FLAIR MRI.
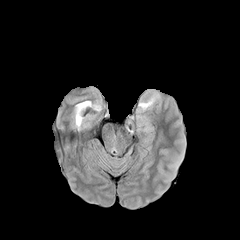
T1-weighted MRI.
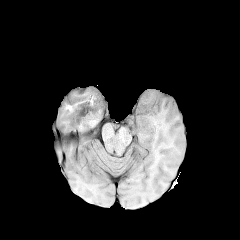
Post-contrast T1-weighted MRI.
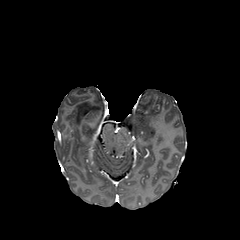
T2-weighted MRI.
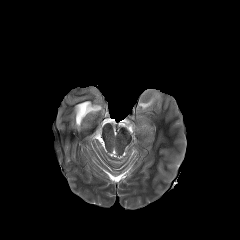
Axial plane | Brain
peritumoral_edema:
  - box(139, 98, 154, 108)